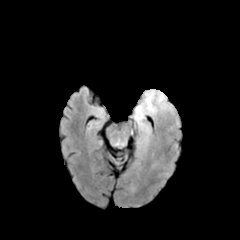
FLAIR MR image.
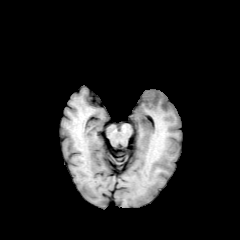
T1-weighted MRI.
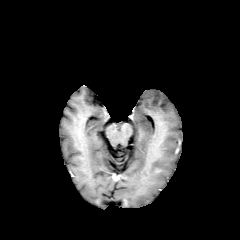
Post-contrast T1-weighted MR image of the same slice.
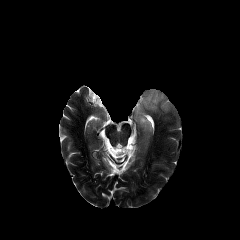
T2-weighted MRI.
Axial plane, Brain, Image size 240x240
The peritumoral edema appears at 133:89:173:143.